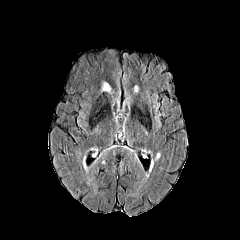
FLAIR MR.
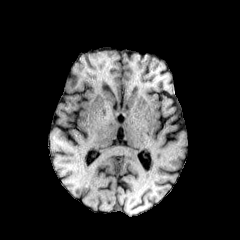
T1-weighted MR image.
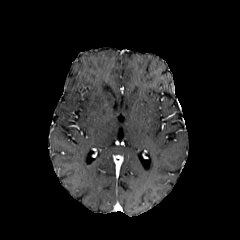
Post-contrast T1-weighted magnetic resonance.
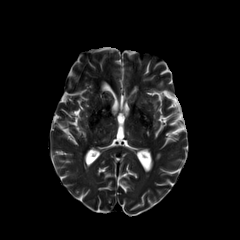
T2-weighted MR image of the same slice.
Axial slice
The peritumoral edema is located at x1=102, y1=82, x2=109, y2=91.